FLAIR MR image.
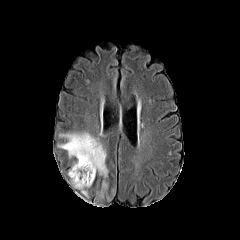
T1-weighted MRI.
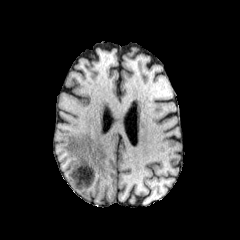
Post-contrast T1-weighted MR.
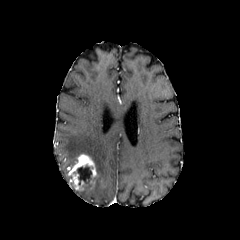
T2-weighted magnetic resonance.
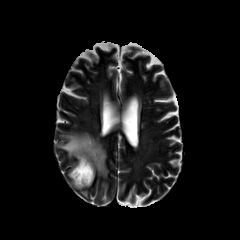
240x240, Axial slice
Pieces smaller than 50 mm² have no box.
enhancing tumor: x1=68 y1=154 x2=96 y2=190 | peritumoral edema: x1=97 y1=181 x2=107 y2=198, x1=58 y1=132 x2=108 y2=178 | necrotic tumor core: x1=77 y1=166 x2=91 y2=184